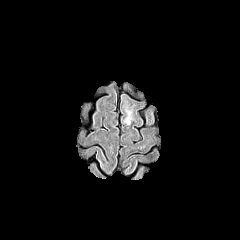
FLAIR MR.
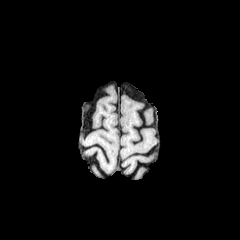
T1-weighted MRI.
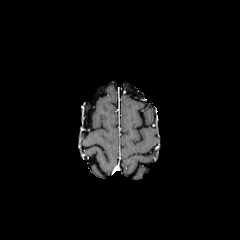
Post-contrast T1-weighted MR image.
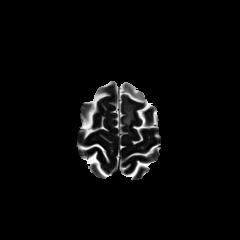
Same slice, T2-weighted MR.
240x240 px | Head
The peritumoral edema is at box(123, 97, 138, 124).